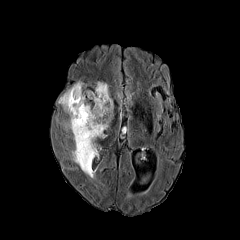
FLAIR MRI.
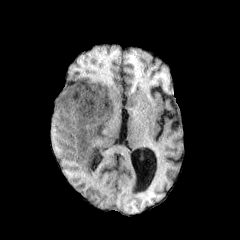
T1-weighted MRI.
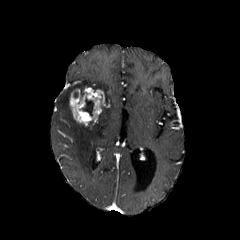
Post-contrast T1-weighted MRI.
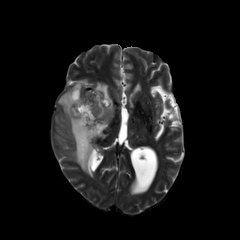
T2-weighted MR of the same slice.
240x240 px
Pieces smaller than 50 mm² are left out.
Findings:
• peritumoral edema: left=58, top=82, right=113, bottom=177
• necrotic tumor core: left=82, top=98, right=93, bottom=116
• enhancing tumor: left=69, top=89, right=107, bottom=126